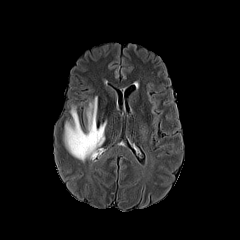
FLAIR MR image.
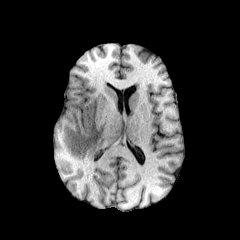
T1-weighted MRI.
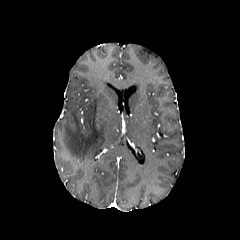
Post-contrast T1-weighted MR of the same slice.
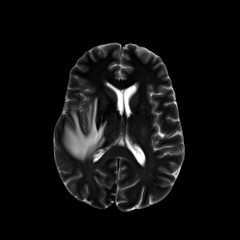
T2-weighted MR image.
Head, Axial plane
peritumoral edema: 63:96:106:161